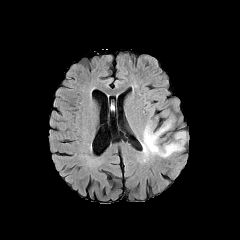
FLAIR MRI.
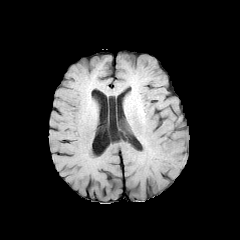
Same slice, T1-weighted MR.
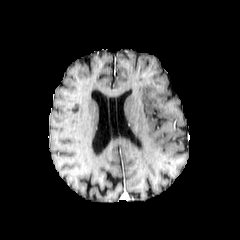
Same slice, post-contrast T1-weighted MR image.
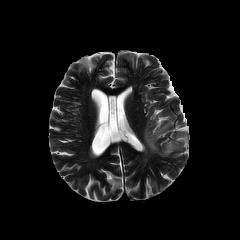
Same slice, T2-weighted MR.
Brain | Axial view
2 peritumoral edema regions are bounded by 142, 121, 181, 156; 177, 133, 185, 141.